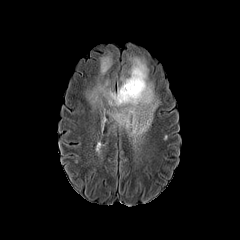
FLAIR MR image.
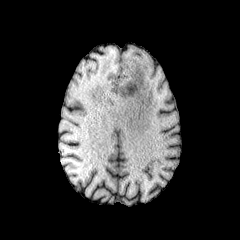
T1-weighted magnetic resonance.
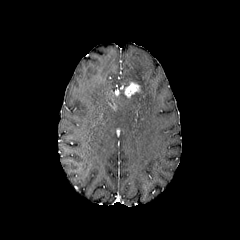
Post-contrast T1-weighted MR.
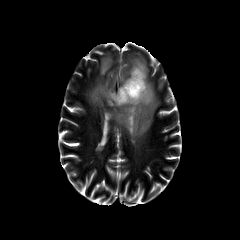
T2-weighted MRI of the same slice.
240x240 px
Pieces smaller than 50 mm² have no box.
peritumoral edema = (89,57,158,141), (100,56,111,74)
enhancing tumor = (120,82,140,97)